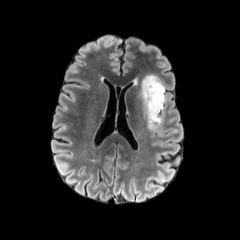
FLAIR MR.
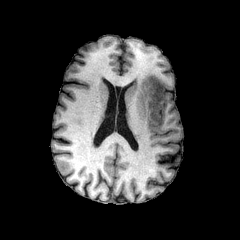
Same slice, T1-weighted MRI.
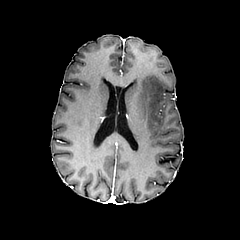
Same slice, post-contrast T1-weighted MR.
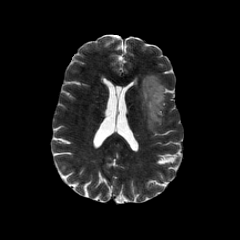
Same slice, T2-weighted MR image.
Head
peritumoral edema: bounding box (140, 75, 166, 131)